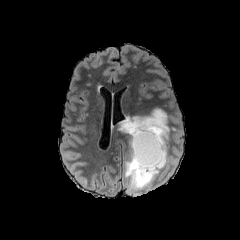
FLAIR MR image.
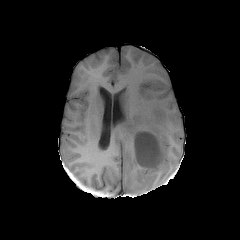
T1-weighted MR image.
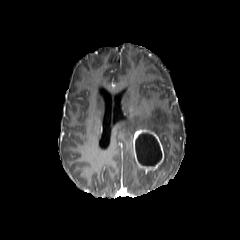
Post-contrast T1-weighted magnetic resonance.
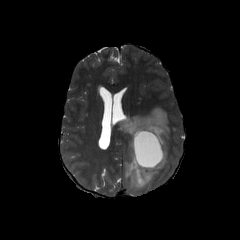
Same slice, T2-weighted MR image.
Brain. Axial plane.
The peritumoral edema is located at (x1=118, y1=107, x2=175, y2=190). The enhancing tumor is bounded by (x1=133, y1=129, x2=164, y2=173). The necrotic tumor core appears at (x1=135, y1=133, x2=161, y2=166).